FLAIR magnetic resonance.
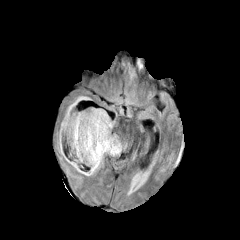
T1-weighted MR image.
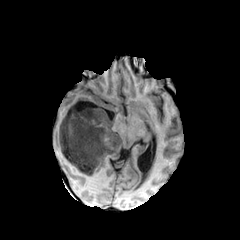
Post-contrast T1-weighted MRI.
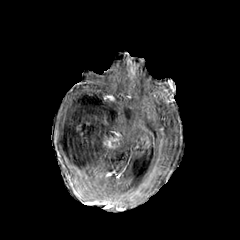
T2-weighted MR.
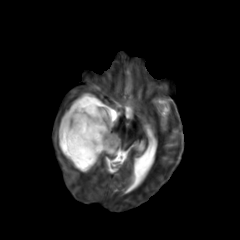
Head | Axial plane
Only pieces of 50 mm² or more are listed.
{"necrotic_tumor_core": [{"x1": 58, "y1": 116, "x2": 99, "y2": 167}], "peritumoral_edema": [{"x1": 60, "y1": 92, "x2": 121, "y2": 175}], "enhancing_tumor": [{"x1": 104, "y1": 134, "x2": 119, "y2": 147}]}